Axial slice; Brain; Slice 116/155
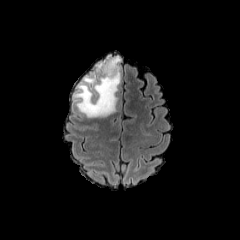
FLAIR magnetic resonance.
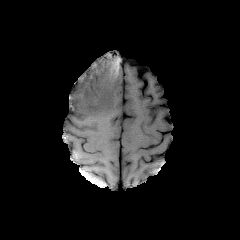
T1-weighted MRI.
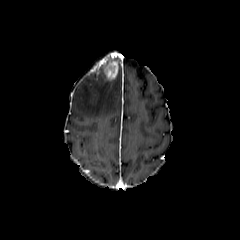
Post-contrast T1-weighted MR.
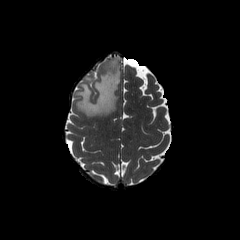
Same slice, T2-weighted MRI.
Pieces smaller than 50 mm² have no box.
enhancing_tumor:
  - (left=95, top=58, right=118, bottom=81)
peritumoral_edema:
  - (left=74, top=65, right=120, bottom=117)